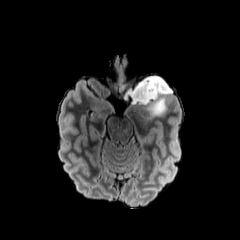
FLAIR MR.
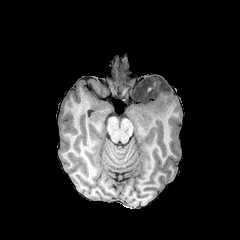
T1-weighted magnetic resonance.
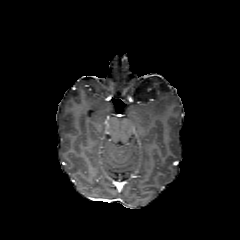
Same slice, post-contrast T1-weighted MR.
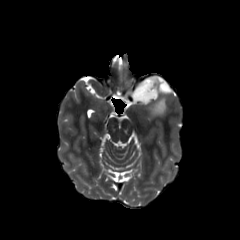
T2-weighted magnetic resonance.
240x240 px.
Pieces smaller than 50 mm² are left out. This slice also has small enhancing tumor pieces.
<segmentation>
  <peritumoral_edema>x1=125, y1=75, x2=172, y2=116</peritumoral_edema>
</segmentation>